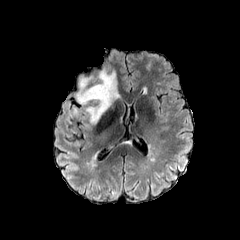
FLAIR MR image.
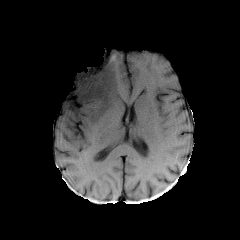
T1-weighted MR of the same slice.
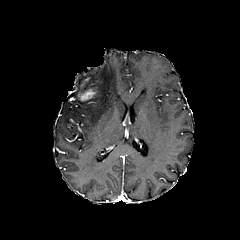
Post-contrast T1-weighted magnetic resonance.
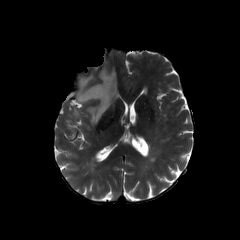
T2-weighted MR image.
240x240
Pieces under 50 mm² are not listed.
enhancing tumor — {"x1": 78, "y1": 88, "x2": 98, "y2": 101}
peritumoral edema — {"x1": 77, "y1": 67, "x2": 119, "y2": 124}